Image width 240 mm, 1.00 mm slice spacing, Slice 55/155, Head, Image size 240x240
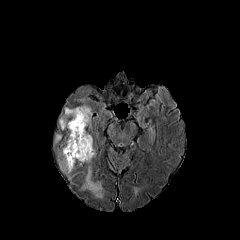
FLAIR MR.
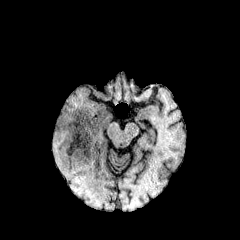
T1-weighted MR image.
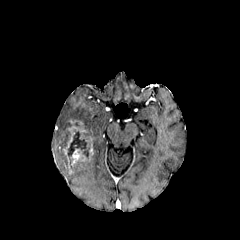
Post-contrast T1-weighted MR.
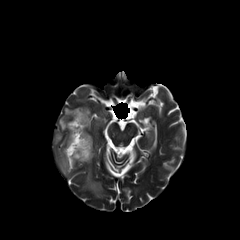
Same slice, T2-weighted MR image.
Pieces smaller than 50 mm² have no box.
The largest necrotic tumor core region appears at (67, 130, 89, 164). The enhancing tumor appears at (63, 120, 93, 172). The 4 largest peritumoral edema regions are bounded by (59, 105, 91, 130), (59, 149, 70, 173), (64, 130, 70, 147), (82, 166, 102, 198).